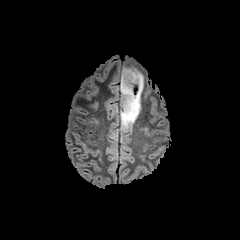
FLAIR MRI.
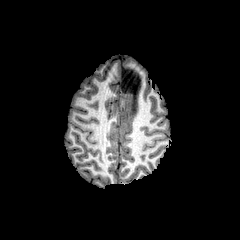
Same slice, T1-weighted magnetic resonance.
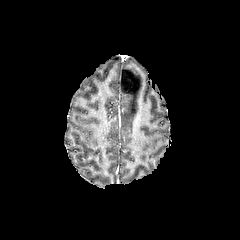
Post-contrast T1-weighted MR image.
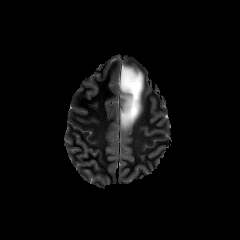
T2-weighted magnetic resonance of the same slice.
Annotated regions:
* peritumoral edema: {"x1": 121, "y1": 66, "x2": 143, "y2": 130}